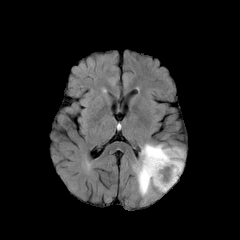
FLAIR MR image.
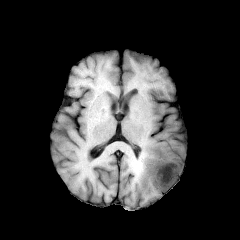
T1-weighted MR image.
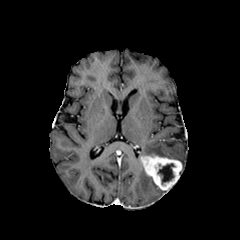
Post-contrast T1-weighted MR image.
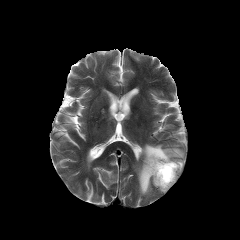
T2-weighted MR image of the same slice.
240x240 px, Axial plane
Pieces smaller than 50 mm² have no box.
The enhancing tumor lies within <bbox>142, 155, 182, 190</bbox>. The necrotic tumor core appears at <bbox>158, 163, 174, 182</bbox>. The largest peritumoral edema region is at <bbox>135, 144, 184, 195</bbox>.